FLAIR MRI.
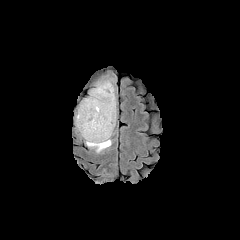
T1-weighted MR image.
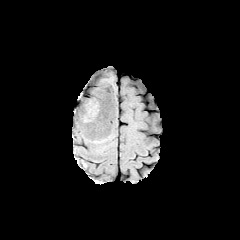
Post-contrast T1-weighted MR.
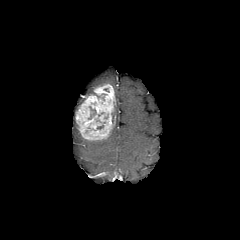
T2-weighted magnetic resonance.
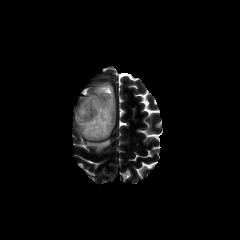
Head; Axial view
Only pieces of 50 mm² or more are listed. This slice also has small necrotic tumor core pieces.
<segmentation>
  <enhancing_tumor>bbox=[75, 83, 115, 140]</enhancing_tumor>
  <peritumoral_edema>bbox=[85, 91, 116, 152]; bbox=[85, 80, 111, 96]</peritumoral_edema>
</segmentation>